FLAIR magnetic resonance.
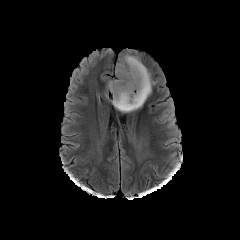
T1-weighted MR image.
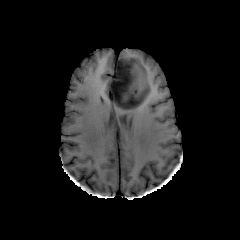
Post-contrast T1-weighted MR image.
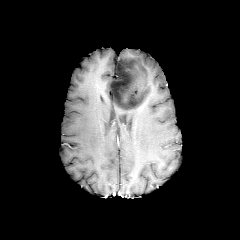
T2-weighted MR.
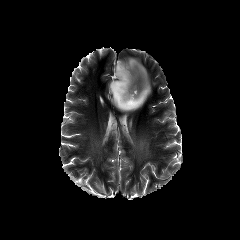
Brain
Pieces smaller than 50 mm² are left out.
The largest peritumoral edema region is located at x1=111 y1=55 x2=154 y2=112. The necrotic tumor core appears at x1=110 y1=61 x2=146 y2=108.